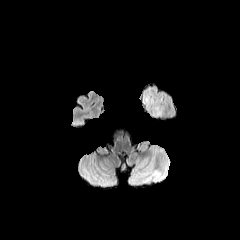
FLAIR MRI.
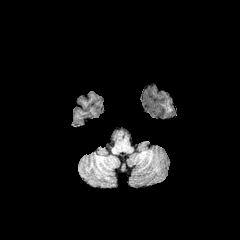
T1-weighted MRI.
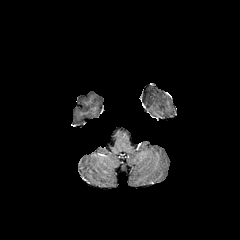
Same slice, post-contrast T1-weighted magnetic resonance.
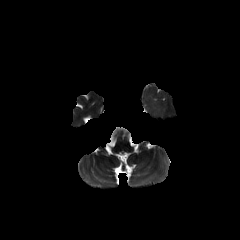
T2-weighted MRI.
Brain
Findings:
• peritumoral edema: box=[143, 98, 160, 117]